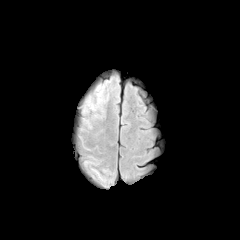
FLAIR MRI.
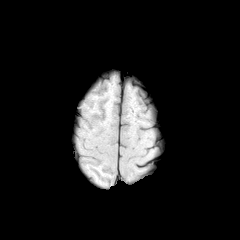
Same slice, T1-weighted MRI.
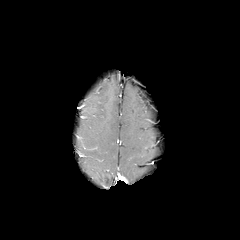
Same slice, post-contrast T1-weighted MR.
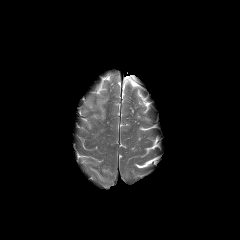
T2-weighted MR of the same slice.
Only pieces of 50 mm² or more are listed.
peritumoral_edema:
  - {"x1": 97, "y1": 85, "x2": 103, "y2": 96}